FLAIR MRI.
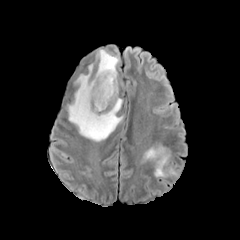
T1-weighted MRI.
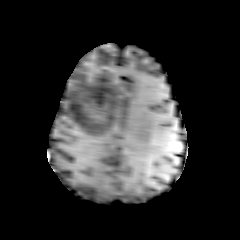
Post-contrast T1-weighted MR image.
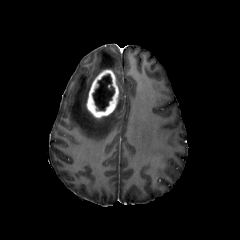
T2-weighted MRI.
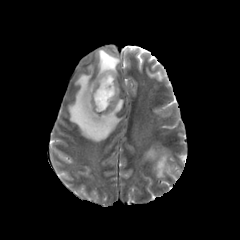
Axial plane; Brain
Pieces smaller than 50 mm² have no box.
peritumoral_edema:
  - (95,48,118,86)
  - (68,64,123,141)
  - (144,145,176,177)
necrotic_tumor_core:
  - (93,75,114,110)
enhancing_tumor:
  - (86,69,118,118)